Image covers 240 mm x 240 mm.
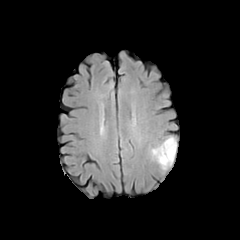
FLAIR MR image.
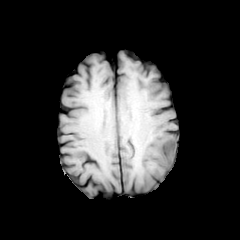
T1-weighted MRI.
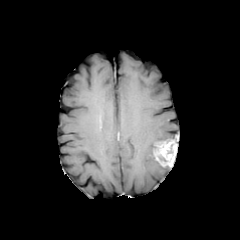
Post-contrast T1-weighted MR.
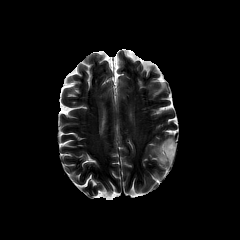
Same slice, T2-weighted MR image.
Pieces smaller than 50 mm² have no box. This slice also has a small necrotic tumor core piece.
Findings:
• peritumoral edema: box(149, 142, 161, 164)
• enhancing tumor: box(154, 139, 177, 167)